Slice index 76 | Image size 240x240 | Head
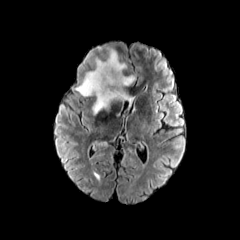
FLAIR MRI.
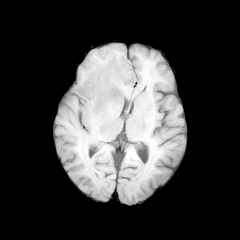
Same slice, T1-weighted MR image.
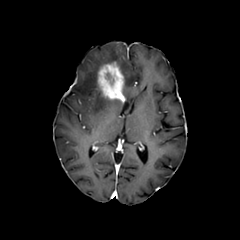
Post-contrast T1-weighted MR image of the same slice.
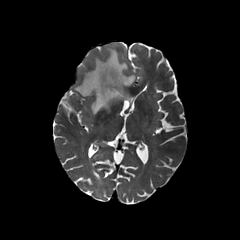
T2-weighted magnetic resonance of the same slice.
Annotated regions:
* peritumoral edema: 124,75,134,86; 123,89,133,107; 75,47,127,115
* necrotic tumor core: 103,67,120,95
* enhancing tumor: 97,61,125,102